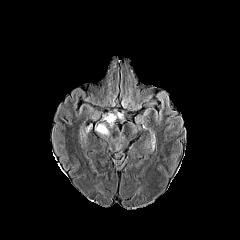
FLAIR magnetic resonance.
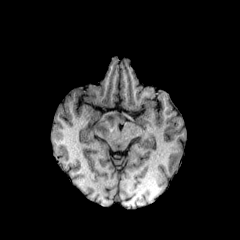
T1-weighted MR image of the same slice.
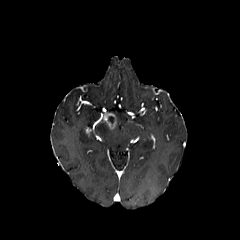
Post-contrast T1-weighted MR of the same slice.
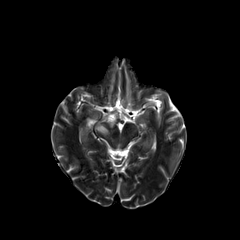
T2-weighted MR image.
240x240 px | Head
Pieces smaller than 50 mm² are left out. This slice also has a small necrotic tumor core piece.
Segmented structures:
- enhancing tumor: [102,113,116,128]
- peritumoral edema: [95,123,109,135]